Axial view. Image size 240x240.
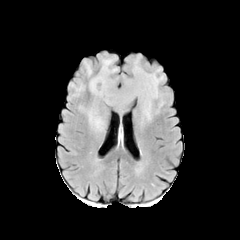
FLAIR MRI.
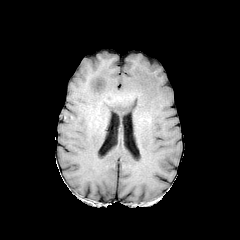
T1-weighted magnetic resonance of the same slice.
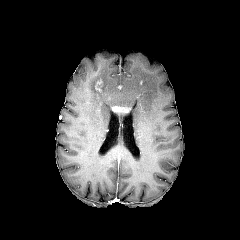
Post-contrast T1-weighted MR.
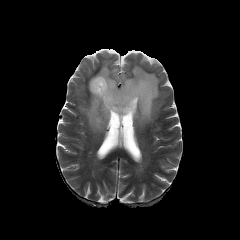
T2-weighted MR of the same slice.
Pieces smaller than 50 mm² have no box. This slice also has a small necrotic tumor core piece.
{
  "enhancing_tumor": [
    "(x1=112, y1=106, x2=129, y2=112)",
    "(x1=95, y1=79, x2=103, y2=91)"
  ],
  "peritumoral_edema": [
    "(x1=87, y1=57, x2=164, y2=131)",
    "(x1=85, y1=63, x2=91, y2=74)"
  ]
}